FLAIR MRI.
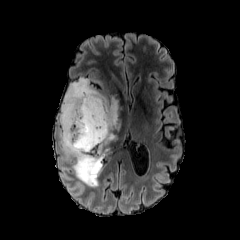
T1-weighted MR image.
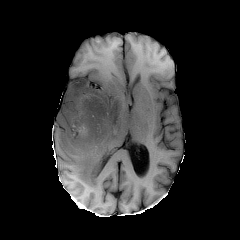
Post-contrast T1-weighted MR image.
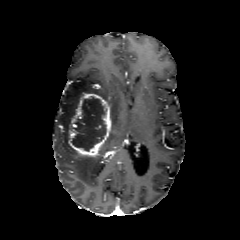
T2-weighted MRI.
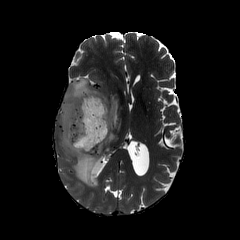
Brain
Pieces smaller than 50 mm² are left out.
peritumoral edema — x1=58 y1=78 x2=121 y2=187
necrotic tumor core — x1=71 y1=97 x2=105 y2=151
enhancing tumor — x1=67 y1=92 x2=111 y2=158